Brain. Axial plane. Slice 95/155.
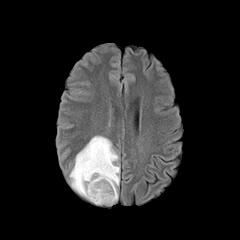
FLAIR MRI.
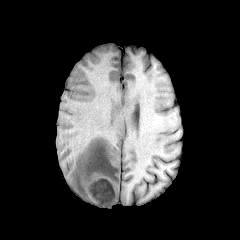
T1-weighted magnetic resonance.
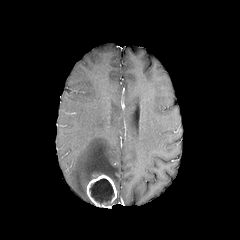
Post-contrast T1-weighted magnetic resonance of the same slice.
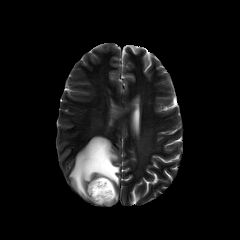
T2-weighted MR.
enhancing tumor: bounding box box=[86, 174, 116, 207]
peritumoral edema: bounding box box=[69, 136, 119, 202]
necrotic tumor core: bounding box box=[89, 178, 114, 205]